Slice 44/155, Head, Axial slice
FLAIR MR.
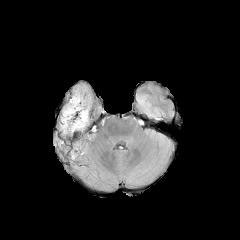
T1-weighted magnetic resonance.
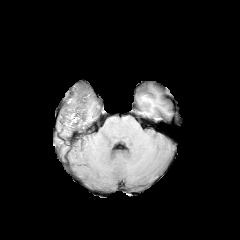
Post-contrast T1-weighted MR image.
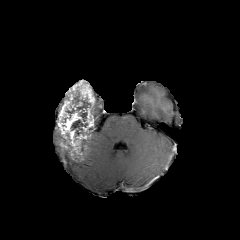
T2-weighted MR image.
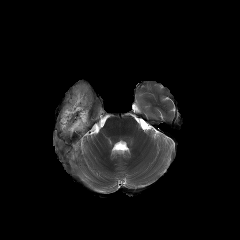
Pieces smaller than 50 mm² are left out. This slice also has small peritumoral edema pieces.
<segmentation>
  <necrotic_tumor_core>[x1=72, y1=94, x2=90, y2=121], [x1=71, y1=119, x2=87, y2=136]</necrotic_tumor_core>
  <enhancing_tumor>[x1=58, y1=81, x2=95, y2=158]</enhancing_tumor>
</segmentation>